Image width 240 mm.
FLAIR magnetic resonance.
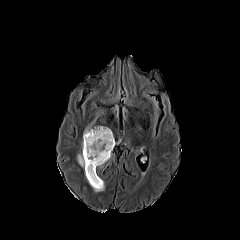
T1-weighted MR image.
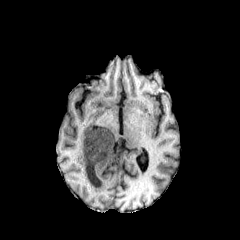
Post-contrast T1-weighted magnetic resonance.
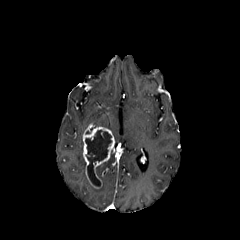
T2-weighted magnetic resonance.
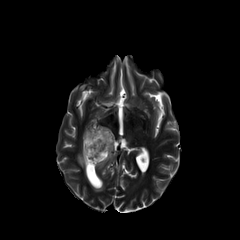
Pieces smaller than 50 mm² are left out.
The 2 largest peritumoral edema regions appear at 77 142 85 168, 92 181 104 192. The largest enhancing tumor region is located at 83 124 114 188. The largest necrotic tumor core region is bounded by 85 130 111 186.